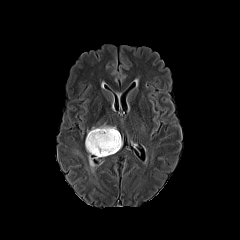
FLAIR MRI.
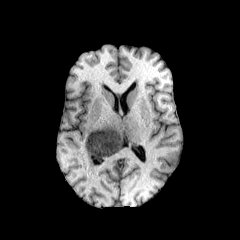
Same slice, T1-weighted MR.
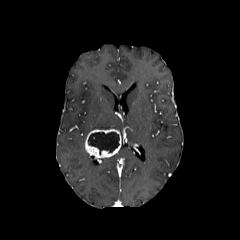
Post-contrast T1-weighted MR.
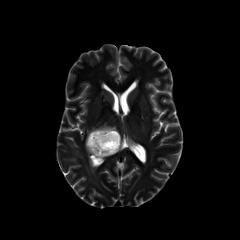
T2-weighted MR.
240x240 px; Brain
<segmentation>
  <enhancing_tumor>[85, 128, 121, 159]</enhancing_tumor>
  <necrotic_tumor_core>[88, 132, 119, 154]</necrotic_tumor_core>
  <peritumoral_edema>[87, 123, 115, 133]</peritumoral_edema>
</segmentation>